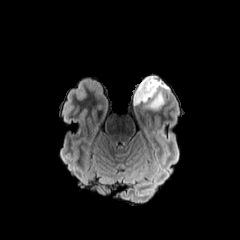
FLAIR MR.
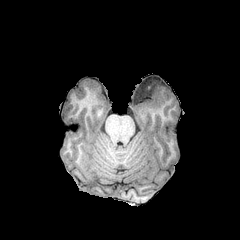
Same slice, T1-weighted MR.
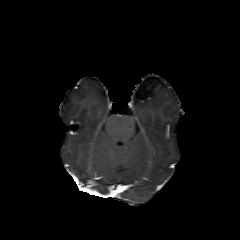
Post-contrast T1-weighted MR.
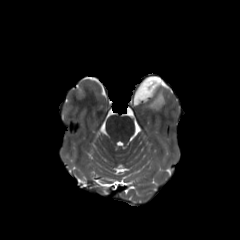
T2-weighted MR image.
Axial plane | 240x240 px
- peritumoral edema: [133, 76, 168, 110]